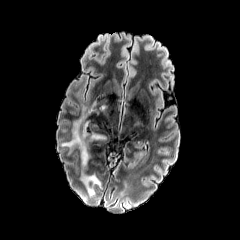
FLAIR magnetic resonance.
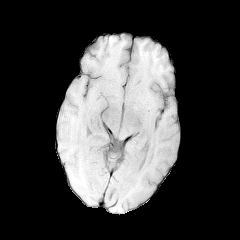
Same slice, T1-weighted magnetic resonance.
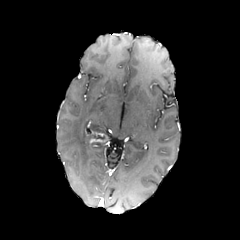
Same slice, post-contrast T1-weighted MR image.
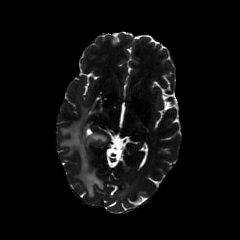
Same slice, T2-weighted MRI.
Image size 240x240. Head.
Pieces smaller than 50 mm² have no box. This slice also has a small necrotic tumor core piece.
* peritumoral edema: l=62, t=102, r=95, b=168; l=83, t=175, r=100, b=195
* enhancing tumor: l=88, t=132, r=108, b=144